Image width 240 mm. Slice 94/155. Axial slice.
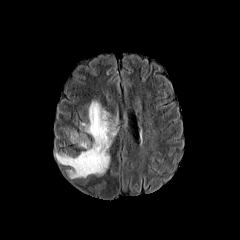
FLAIR MRI.
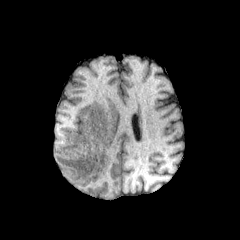
Same slice, T1-weighted MRI.
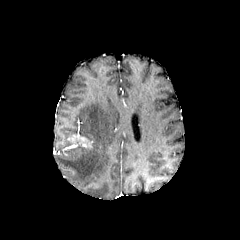
Same slice, post-contrast T1-weighted MR image.
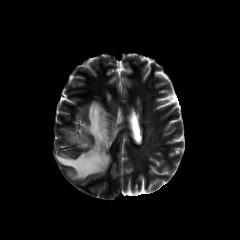
T2-weighted MR image.
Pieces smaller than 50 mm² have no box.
<segmentation>
  <enhancing_tumor>(x1=69, y1=134, x2=91, y2=147)</enhancing_tumor>
  <peritumoral_edema>(x1=56, y1=100, x2=117, y2=178)</peritumoral_edema>
</segmentation>